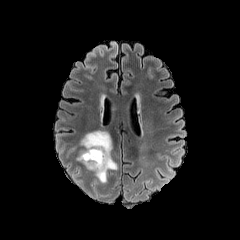
FLAIR MR.
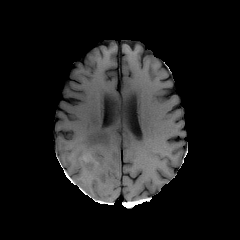
T1-weighted MR image.
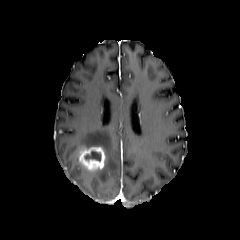
Post-contrast T1-weighted MRI.
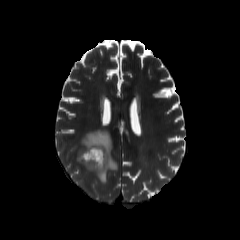
T2-weighted MR.
Axial plane, Head
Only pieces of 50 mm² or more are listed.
necrotic tumor core: bounding box x1=85, y1=151, x2=100, y2=160
enhancing tumor: bounding box x1=78, y1=146, x2=106, y2=171
peritumoral edema: bounding box x1=76, y1=130, x2=117, y2=182